Image width 240 mm, 1.00 mm slice spacing
FLAIR MR.
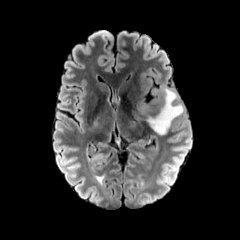
T1-weighted magnetic resonance.
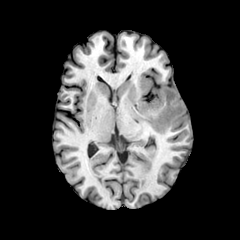
Post-contrast T1-weighted MR.
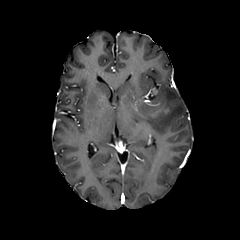
T2-weighted MRI.
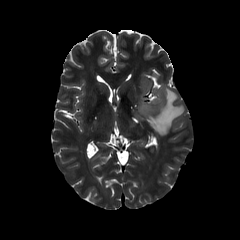
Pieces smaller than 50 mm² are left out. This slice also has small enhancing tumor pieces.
peritumoral_edema:
  - 139:86:184:134